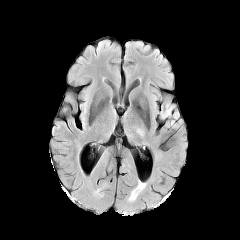
FLAIR MR image.
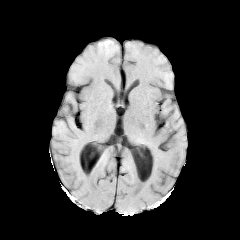
T1-weighted MR.
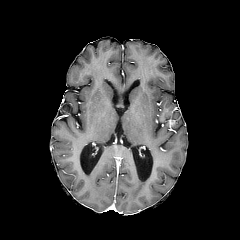
Post-contrast T1-weighted MRI.
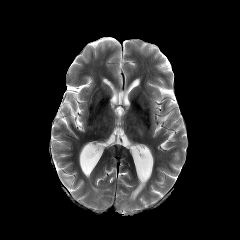
T2-weighted magnetic resonance.
Axial plane, Head
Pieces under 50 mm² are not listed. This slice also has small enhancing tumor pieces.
<segmentation>
  <peritumoral_edema>x1=159 y1=104 x2=181 y2=128</peritumoral_edema>
</segmentation>